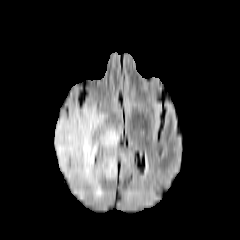
FLAIR MR.
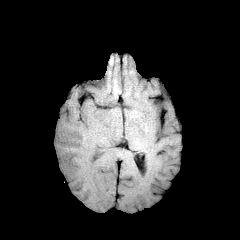
T1-weighted MRI.
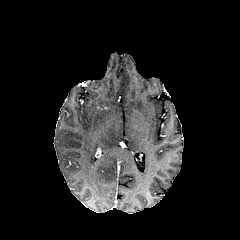
Post-contrast T1-weighted MRI.
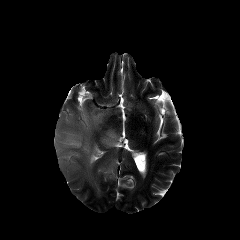
T2-weighted MR.
Axial view. Head.
peritumoral edema: (left=54, top=104, right=121, bottom=199)